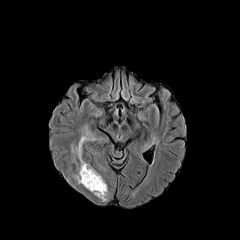
FLAIR MR.
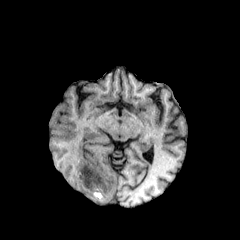
T1-weighted magnetic resonance.
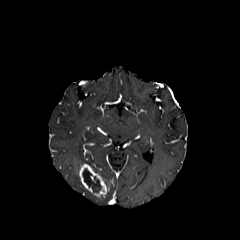
Post-contrast T1-weighted magnetic resonance.
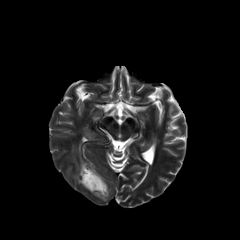
T2-weighted MR image.
Head
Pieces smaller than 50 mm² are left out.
The enhancing tumor lies within x1=80 y1=164 x2=106 y2=197. The necrotic tumor core appears at x1=82 y1=169 x2=101 y2=192. The 3 largest peritumoral edema regions are bounded by x1=73 y1=170 x2=81 y2=183, x1=71 y1=124 x2=104 y2=166, x1=99 y1=194 x2=108 y2=202.